Brain, Slice 37/155
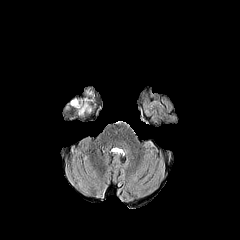
FLAIR magnetic resonance.
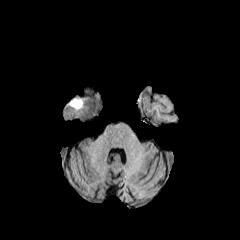
T1-weighted magnetic resonance.
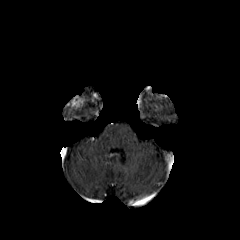
Post-contrast T1-weighted MR of the same slice.
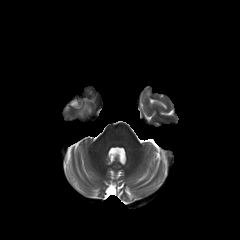
T2-weighted MR image.
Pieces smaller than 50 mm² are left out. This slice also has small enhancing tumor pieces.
necrotic_tumor_core:
  - 72, 98, 81, 107
peritumoral_edema:
  - 79, 100, 90, 114